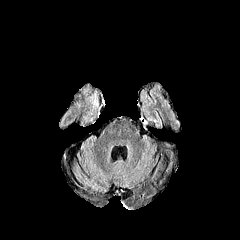
FLAIR magnetic resonance.
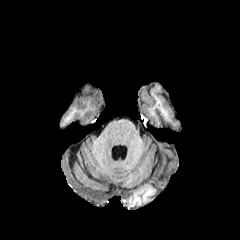
T1-weighted MRI of the same slice.
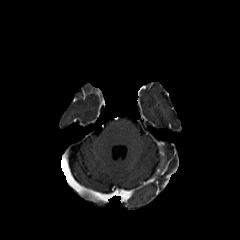
Post-contrast T1-weighted MRI of the same slice.
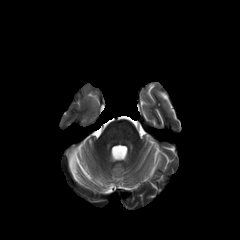
T2-weighted MRI.
240x240
peritumoral edema: <box>91,95,97,106</box>